Slice 45 of 155. Image covers 240 mm x 240 mm. Head.
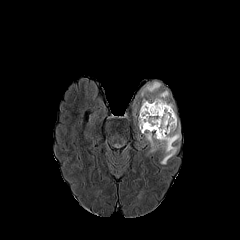
FLAIR MR.
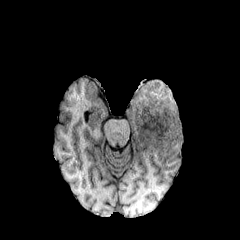
Same slice, T1-weighted MR image.
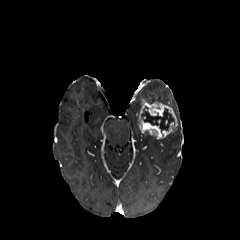
Post-contrast T1-weighted magnetic resonance.
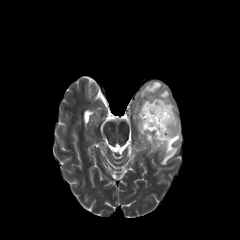
T2-weighted magnetic resonance of the same slice.
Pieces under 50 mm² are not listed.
{"necrotic_tumor_core": ["left=141, top=108, right=174, bottom=132"], "enhancing_tumor": ["left=138, top=99, right=177, bottom=139"], "peritumoral_edema": ["left=134, top=81, right=180, bottom=164"]}